Image width 240 mm, Slice 114 of 155, Image size 240x240
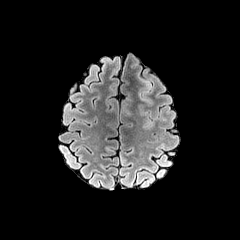
FLAIR MR image.
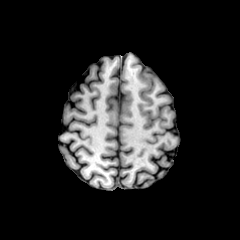
T1-weighted MR image of the same slice.
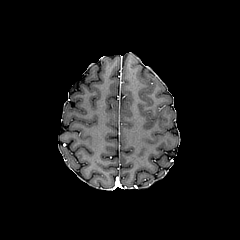
Post-contrast T1-weighted MR.
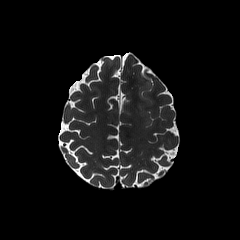
Same slice, T2-weighted magnetic resonance.
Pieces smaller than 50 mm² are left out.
<segmentation>
  <peritumoral_edema>l=143, t=81, r=151, b=94; l=139, t=93, r=150, b=103</peritumoral_edema>
</segmentation>